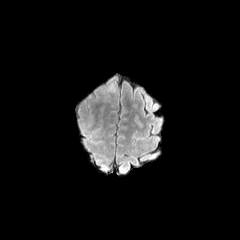
FLAIR MR.
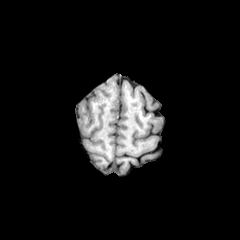
T1-weighted magnetic resonance.
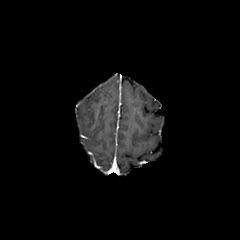
Same slice, post-contrast T1-weighted magnetic resonance.
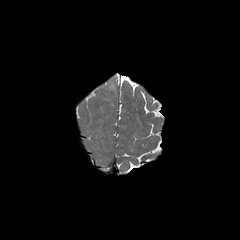
T2-weighted MR image of the same slice.
Axial plane
Findings:
* peritumoral edema: box(107, 79, 116, 92)